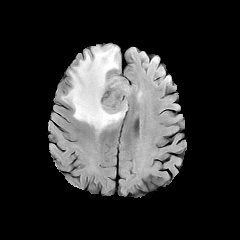
FLAIR MR image.
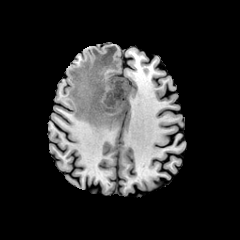
Same slice, T1-weighted MR.
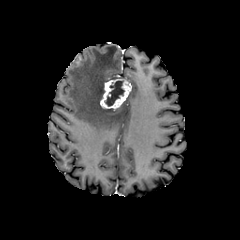
Post-contrast T1-weighted MR of the same slice.
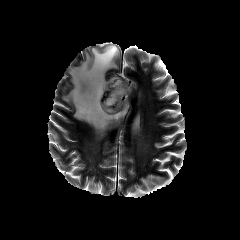
T2-weighted MRI.
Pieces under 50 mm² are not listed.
The necrotic tumor core is at bbox=[105, 81, 124, 106]. The enhancing tumor is located at bbox=[100, 79, 131, 110]. The largest peritumoral edema region appears at bbox=[62, 45, 127, 133].